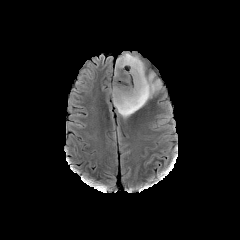
FLAIR MRI.
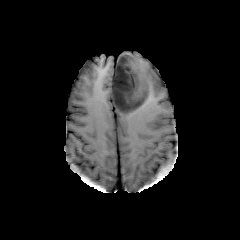
T1-weighted MR image.
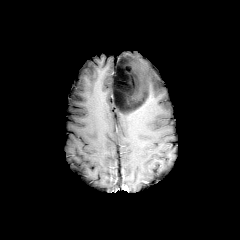
Post-contrast T1-weighted MR image of the same slice.
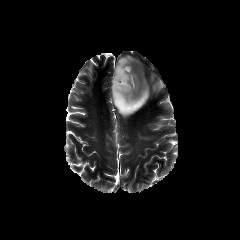
Same slice, T2-weighted MRI.
240x240 px | Head
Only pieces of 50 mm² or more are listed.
necrotic tumor core: [112, 57, 147, 112] | peritumoral edema: [112, 53, 161, 117]